FLAIR MR.
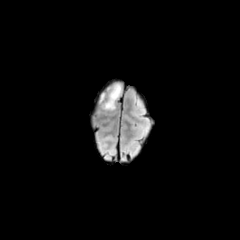
T1-weighted MR image.
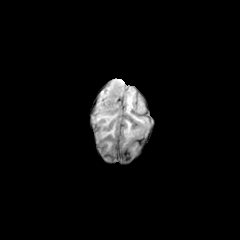
Post-contrast T1-weighted MR image.
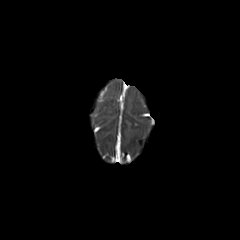
T2-weighted magnetic resonance.
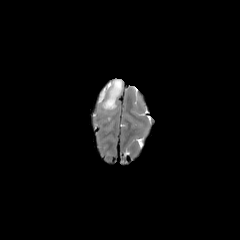
Head. Image size 240x240.
The enhancing tumor is located at bbox(99, 88, 106, 101). The peritumoral edema is bounded by bbox(102, 83, 121, 110).